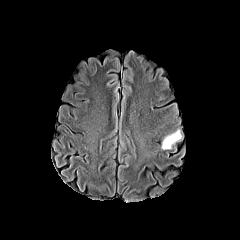
FLAIR MR.
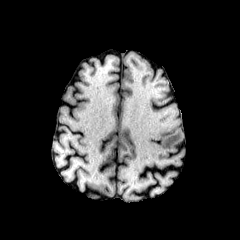
Same slice, T1-weighted MRI.
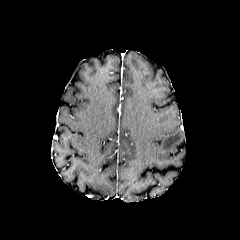
Post-contrast T1-weighted magnetic resonance.
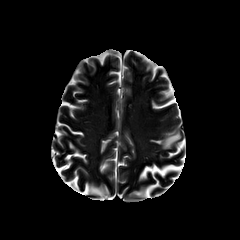
T2-weighted MR image of the same slice.
Brain; Axial view
peritumoral edema: 161 130 181 149